FLAIR MR image.
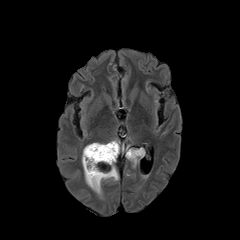
T1-weighted MRI.
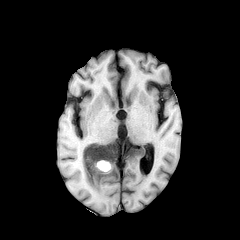
Post-contrast T1-weighted magnetic resonance.
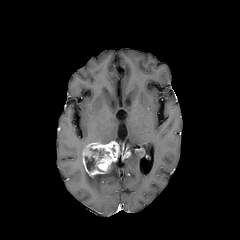
T2-weighted MRI.
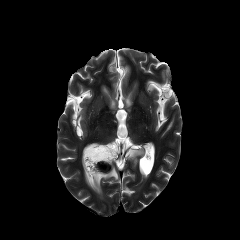
Head; 240x240
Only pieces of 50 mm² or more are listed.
Annotated regions:
- enhancing tumor: {"x1": 82, "y1": 141, "x2": 131, "y2": 177}, {"x1": 134, "y1": 148, "x2": 144, "y2": 155}
- peritumoral edema: {"x1": 83, "y1": 162, "x2": 118, "y2": 195}, {"x1": 127, "y1": 147, "x2": 143, "y2": 167}
- necrotic tumor core: {"x1": 85, "y1": 156, "x2": 95, "y2": 171}